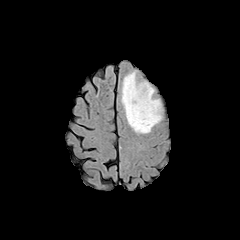
FLAIR magnetic resonance.
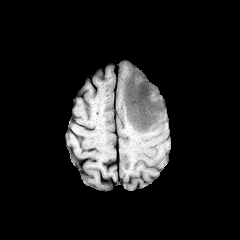
Same slice, T1-weighted MR image.
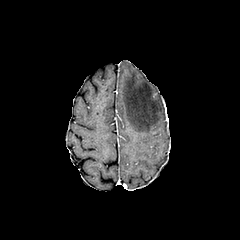
Post-contrast T1-weighted MRI.
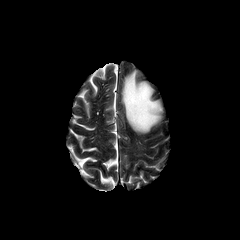
T2-weighted MRI.
Axial plane; Brain
<segmentation>
  <peritumoral_edema>(121,71,161,133)</peritumoral_edema>
</segmentation>